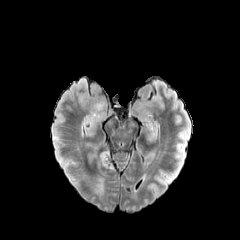
FLAIR magnetic resonance.
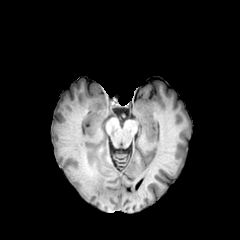
T1-weighted MR of the same slice.
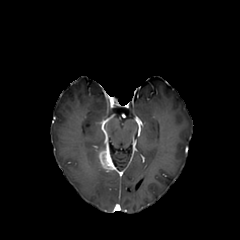
Post-contrast T1-weighted MR image of the same slice.
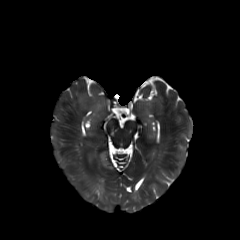
T2-weighted magnetic resonance.
Axial plane
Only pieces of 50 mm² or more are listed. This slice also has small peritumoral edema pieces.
enhancing_tumor:
  - 98,150,114,171